240x240 | Axial plane | Slice index 138
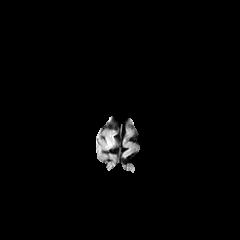
FLAIR MRI.
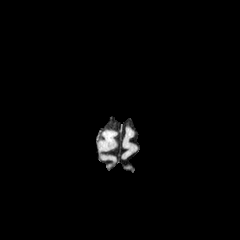
Same slice, T1-weighted MR image.
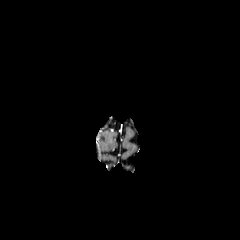
Post-contrast T1-weighted MR image.
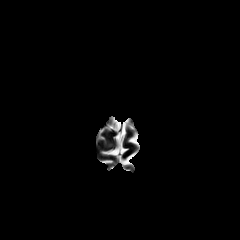
T2-weighted MR of the same slice.
The peritumoral edema is at [105,139,113,148].